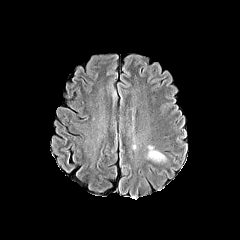
FLAIR magnetic resonance.
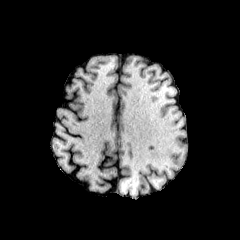
T1-weighted MRI of the same slice.
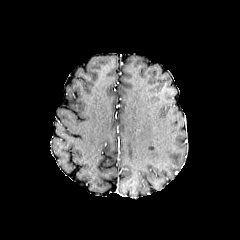
Post-contrast T1-weighted MRI of the same slice.
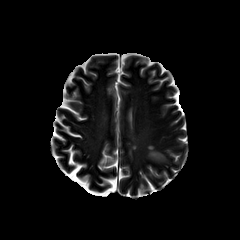
Same slice, T2-weighted MR image.
Axial view, Head, 240x240
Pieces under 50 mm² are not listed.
The largest peritumoral edema region is located at 146, 145, 167, 162.